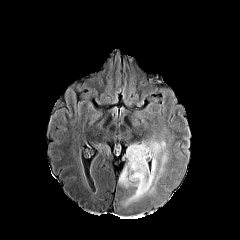
FLAIR MRI.
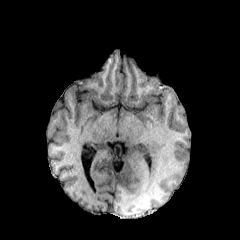
T1-weighted MR image of the same slice.
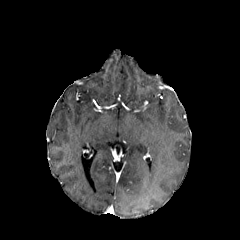
Post-contrast T1-weighted magnetic resonance.
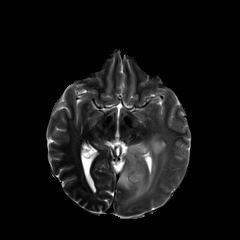
Same slice, T2-weighted MR.
Head
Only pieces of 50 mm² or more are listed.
The 2 largest peritumoral edema regions appear at [161,153,166,165], [119,137,165,201].